240x240 px; Slice 78 of 155; Head; Axial slice
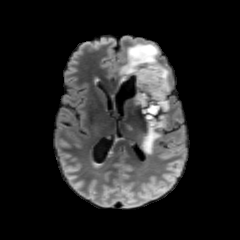
FLAIR MR.
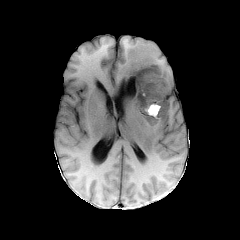
T1-weighted MR.
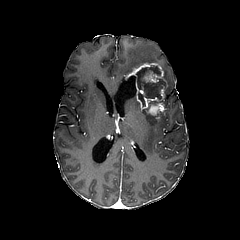
Post-contrast T1-weighted MRI.
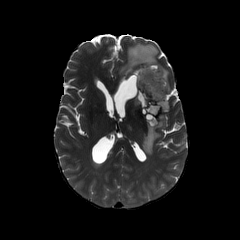
T2-weighted MRI of the same slice.
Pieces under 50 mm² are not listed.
• peritumoral edema: [142, 100, 169, 154], [119, 42, 170, 92]
• necrotic tumor core: [136, 65, 165, 99], [146, 105, 157, 125], [138, 92, 145, 106]
• enhancing tumor: [125, 62, 167, 120]